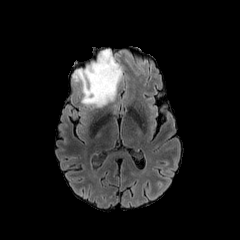
FLAIR MR image.
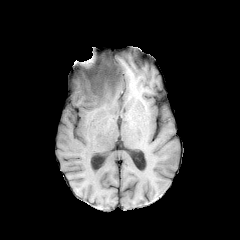
Same slice, T1-weighted magnetic resonance.
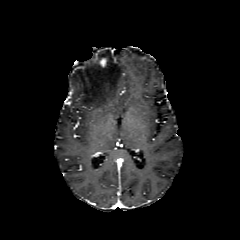
Post-contrast T1-weighted magnetic resonance of the same slice.
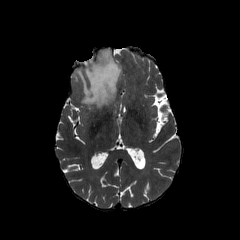
T2-weighted MR of the same slice.
Axial view. Head.
{"enhancing_tumor": ["rect(99, 58, 106, 67)"], "peritumoral_edema": ["rect(73, 49, 122, 107)"]}